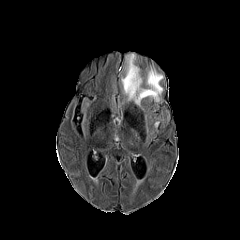
FLAIR MR image.
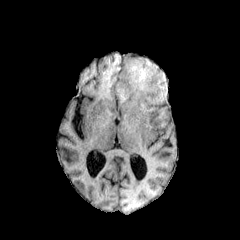
Same slice, T1-weighted MR.
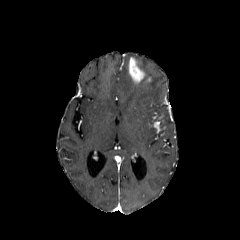
Post-contrast T1-weighted MR image.
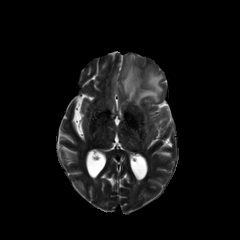
Same slice, T2-weighted MR image.
Brain
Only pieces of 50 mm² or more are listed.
* peritumoral edema: (121,53,163,109)
* enhancing tumor: (128,57,145,83), (153,115,163,128)